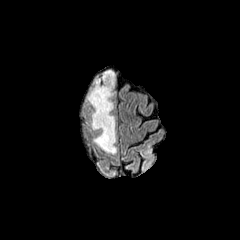
FLAIR MR image.
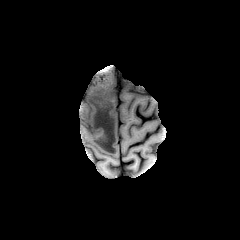
T1-weighted magnetic resonance of the same slice.
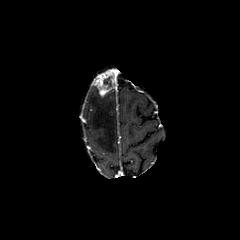
Post-contrast T1-weighted MR image of the same slice.
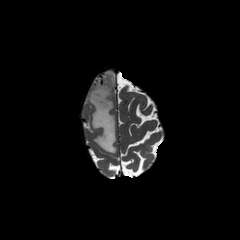
T2-weighted MR.
Brain
peritumoral_edema:
  - 87:86:116:153
enhancing_tumor:
  - 93:69:116:97
necrotic_tumor_core:
  - 104:77:111:86